Head
FLAIR MR.
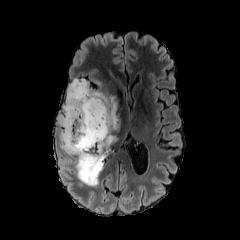
T1-weighted magnetic resonance.
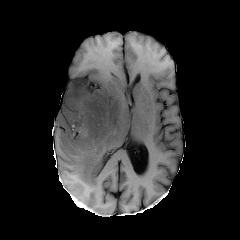
Post-contrast T1-weighted magnetic resonance.
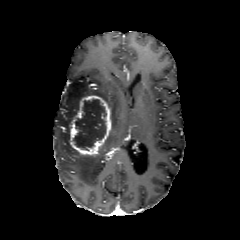
T2-weighted magnetic resonance.
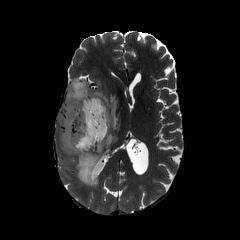
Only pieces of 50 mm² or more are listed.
Segmented structures:
- necrotic tumor core: x1=73 y1=99 x2=106 y2=149
- enhancing tumor: x1=66 y1=95 x2=111 y2=156
- peritumoral edema: x1=58 y1=79 x2=119 y2=186